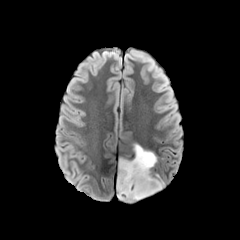
FLAIR magnetic resonance.
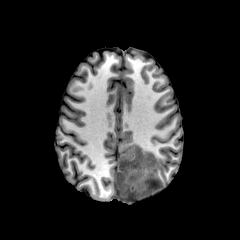
T1-weighted MR image of the same slice.
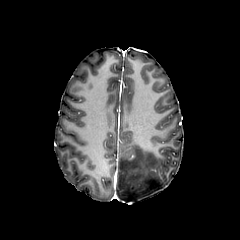
Same slice, post-contrast T1-weighted MR image.
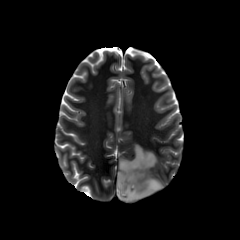
T2-weighted MRI.
Head, 240x240
Segmented structures:
* peritumoral edema: (x1=116, y1=144, x2=165, y2=201)